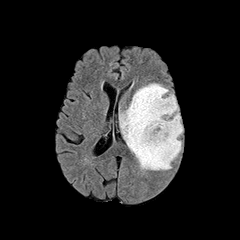
FLAIR MR image.
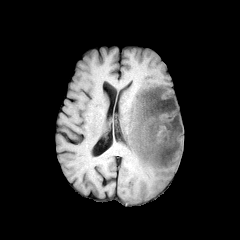
T1-weighted MR.
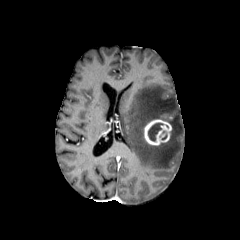
Post-contrast T1-weighted magnetic resonance.
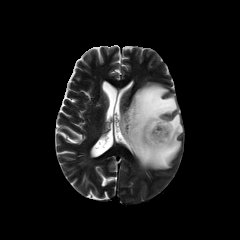
T2-weighted magnetic resonance.
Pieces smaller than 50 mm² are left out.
enhancing tumor: (left=144, top=119, right=171, bottom=145) | necrotic tumor core: (left=148, top=123, right=163, bottom=141) | peritumoral edema: (left=119, top=83, right=183, bottom=169)